Slice index 104. Axial slice. Head. 240x240 px.
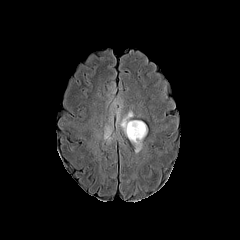
FLAIR MR.
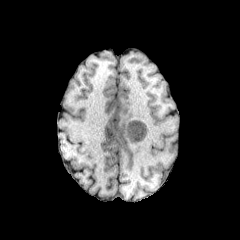
T1-weighted MRI.
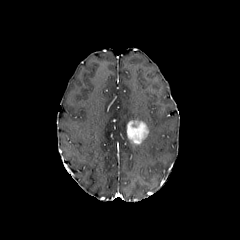
Post-contrast T1-weighted MR.
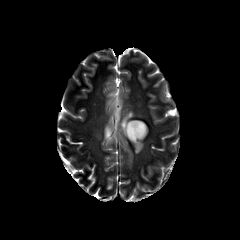
T2-weighted MR image of the same slice.
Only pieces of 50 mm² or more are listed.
The enhancing tumor lies within x1=126 y1=120 x2=148 y2=144. The 3 largest peritumoral edema regions appear at x1=134 y1=142 x2=143 y2=153, x1=116 y1=103 x2=133 y2=136, x1=104 y1=125 x2=112 y2=140.